Slice index 101 | 240x240 | Image covers 240 mm x 240 mm | Brain
FLAIR MR image.
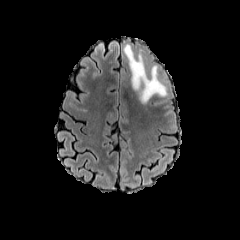
T1-weighted MR image.
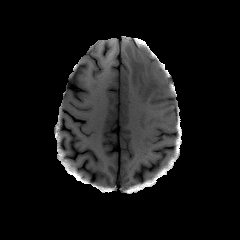
Post-contrast T1-weighted MR.
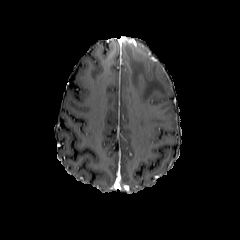
T2-weighted MR image.
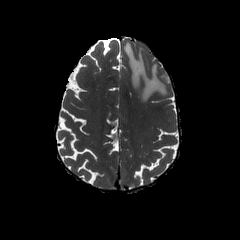
{
  "peritumoral_edema": [
    "x1=123, y1=43, x2=166, y2=102"
  ]
}